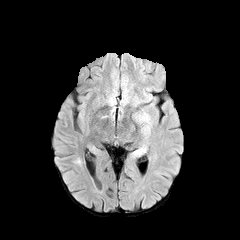
FLAIR MR image.
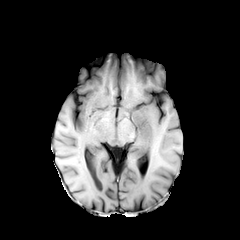
T1-weighted MR image of the same slice.
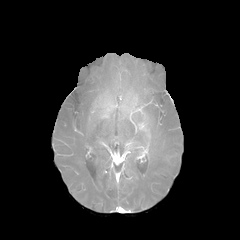
Post-contrast T1-weighted MR image.
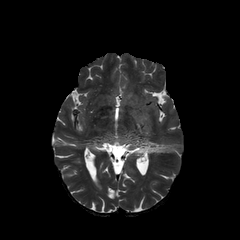
T2-weighted MRI.
Head
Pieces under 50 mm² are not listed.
3 peritumoral edema regions appear at box=[133, 131, 151, 155]; box=[142, 108, 152, 135]; box=[134, 112, 141, 121]. The largest enhancing tumor region is bounded by box=[137, 110, 150, 136].